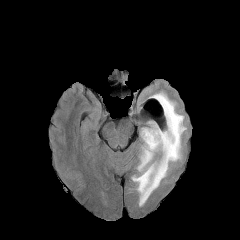
FLAIR MR image.
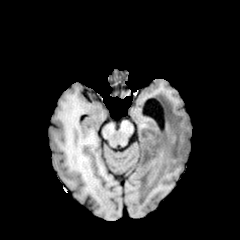
T1-weighted MR image.
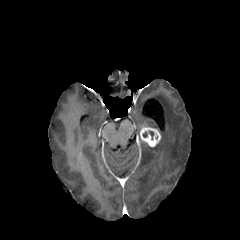
Same slice, post-contrast T1-weighted MR image.
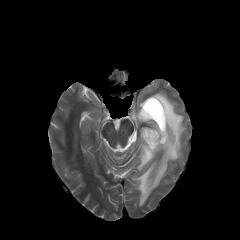
T2-weighted magnetic resonance of the same slice.
Axial plane
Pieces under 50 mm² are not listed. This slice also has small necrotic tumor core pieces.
peritumoral edema — 131:91:186:206
enhancing tumor — 140:127:161:146